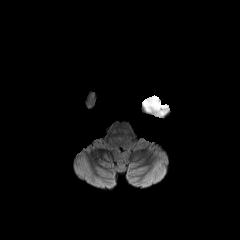
FLAIR MR.
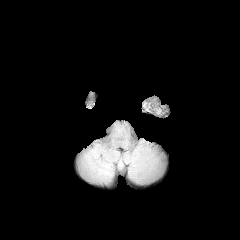
T1-weighted magnetic resonance.
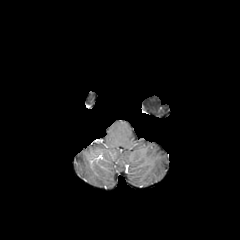
Same slice, post-contrast T1-weighted MRI.
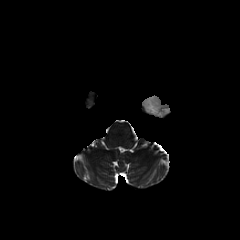
T2-weighted magnetic resonance.
Axial view.
Annotated regions:
* peritumoral edema: 142:95:169:116